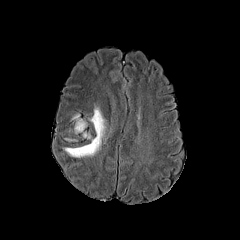
FLAIR MR.
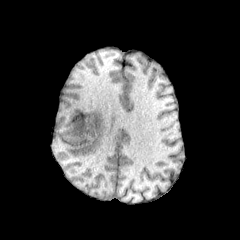
T1-weighted MRI.
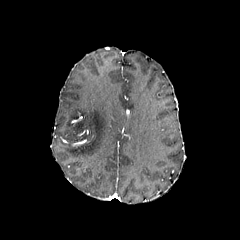
Post-contrast T1-weighted MRI.
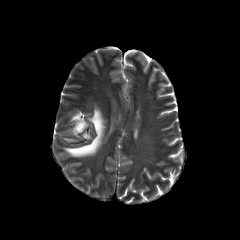
T2-weighted MR.
Brain. Image size 240x240. Axial slice.
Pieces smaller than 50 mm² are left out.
peritumoral edema: (left=74, top=120, right=86, bottom=132), (left=64, top=107, right=105, bottom=157)